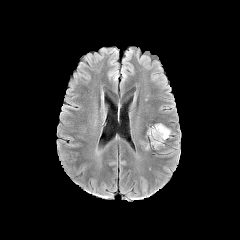
FLAIR MRI.
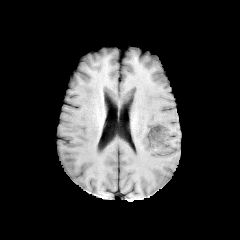
T1-weighted MR image of the same slice.
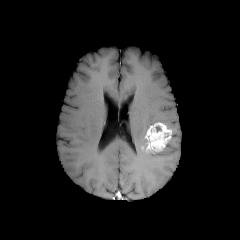
Post-contrast T1-weighted magnetic resonance.
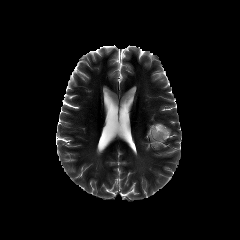
T2-weighted MR.
Image size 240x240, Axial view
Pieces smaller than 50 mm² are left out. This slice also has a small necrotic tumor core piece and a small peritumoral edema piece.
enhancing tumor: l=145, t=122, r=171, b=150